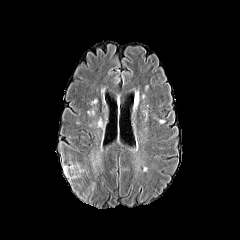
FLAIR MR.
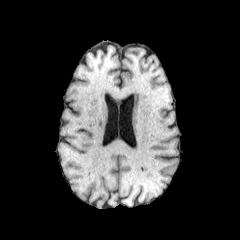
T1-weighted magnetic resonance.
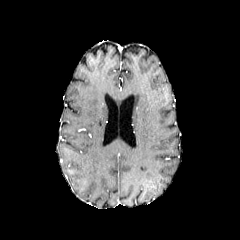
Post-contrast T1-weighted MR of the same slice.
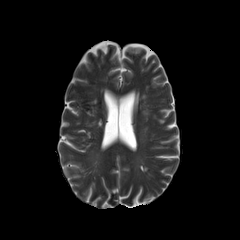
T2-weighted MR.
240x240. Axial plane.
Segmented structures:
- peritumoral edema: (63,164,83,179)